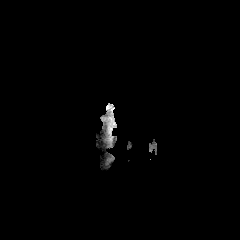
FLAIR MR image.
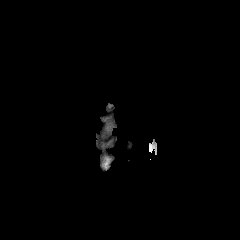
T1-weighted MR image.
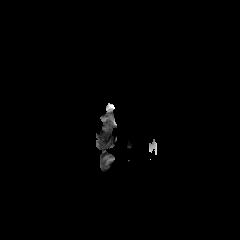
Post-contrast T1-weighted MR image of the same slice.
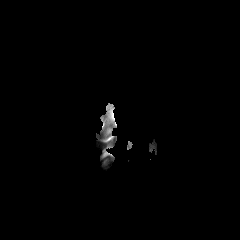
T2-weighted MRI.
Head | Axial plane
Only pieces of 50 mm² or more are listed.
peritumoral_edema:
  - (107,117,114,133)
enhancing_tumor:
  - (106,103,114,111)